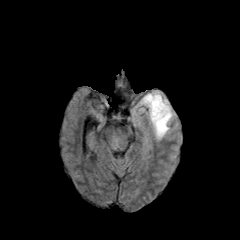
FLAIR MR.
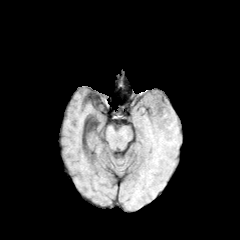
Same slice, T1-weighted MRI.
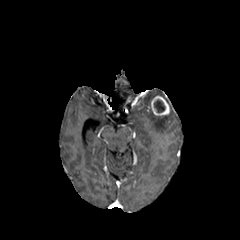
Same slice, post-contrast T1-weighted magnetic resonance.
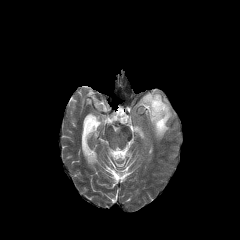
Same slice, T2-weighted MR image.
Head
enhancing_tumor:
  - {"x1": 150, "y1": 95, "x2": 169, "y2": 115}
necrotic_tumor_core:
  - {"x1": 154, "y1": 100, "x2": 164, "y2": 112}
peritumoral_edema:
  - {"x1": 149, "y1": 108, "x2": 172, "y2": 138}
  - {"x1": 142, "y1": 92, "x2": 161, "y2": 108}